FLAIR MRI.
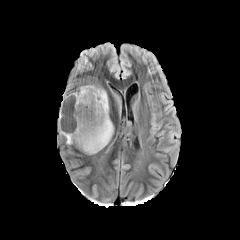
T1-weighted MR image.
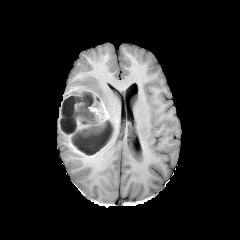
Post-contrast T1-weighted MR image.
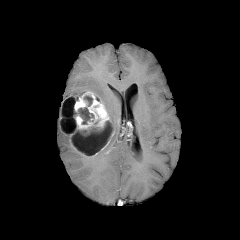
T2-weighted MR.
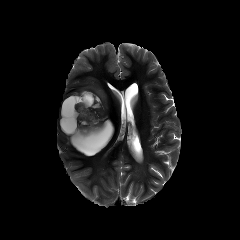
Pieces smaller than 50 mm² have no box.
necrotic tumor core: bbox(73, 120, 113, 153); bbox(61, 118, 76, 133); bbox(84, 96, 92, 106); bbox(61, 95, 93, 124) | peritumoral edema: bbox(75, 86, 108, 112) | enhancing tumor: bbox(58, 91, 114, 155)